240x240 px, Slice 103 of 155, Axial slice, Brain
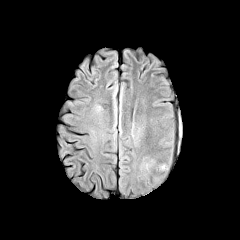
FLAIR MR.
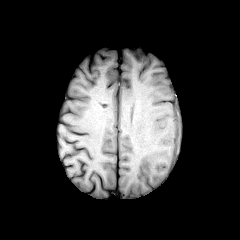
Same slice, T1-weighted MRI.
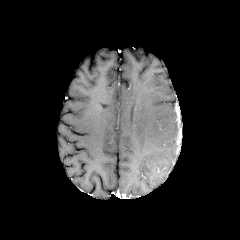
Same slice, post-contrast T1-weighted MR image.
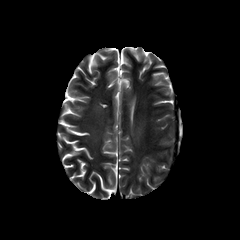
Same slice, T2-weighted MRI.
Segmented structures:
• peritumoral edema: (155, 162, 169, 172)